Head | 240x240
FLAIR magnetic resonance.
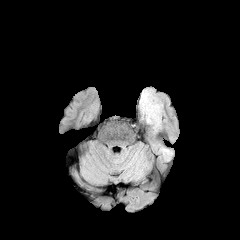
T1-weighted MR.
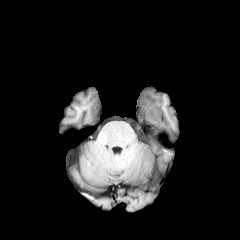
Post-contrast T1-weighted MRI.
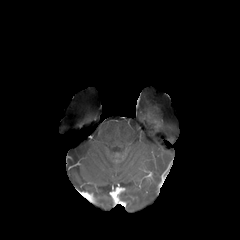
T2-weighted MRI.
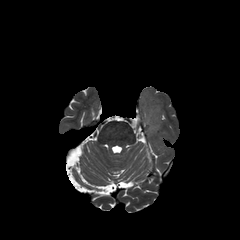
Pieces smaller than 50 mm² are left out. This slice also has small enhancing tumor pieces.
{"peritumoral_edema": ["<box>139,90,165,131</box>"]}